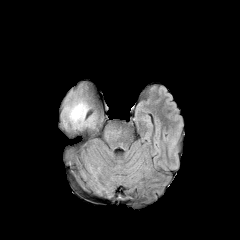
FLAIR MRI.
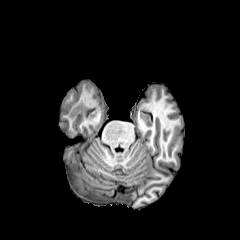
T1-weighted MR.
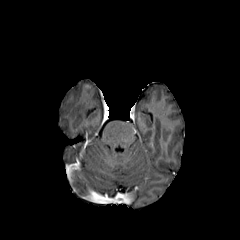
Same slice, post-contrast T1-weighted MR.
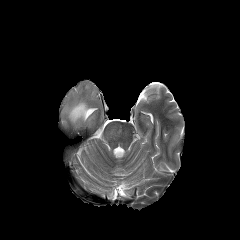
T2-weighted MR.
Head | Axial slice
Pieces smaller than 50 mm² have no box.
The largest peritumoral edema region lies within rect(63, 99, 88, 126).